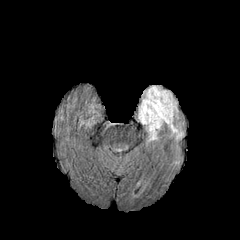
FLAIR magnetic resonance.
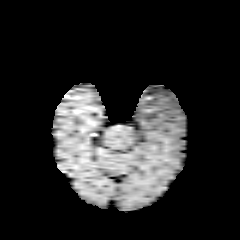
T1-weighted MR.
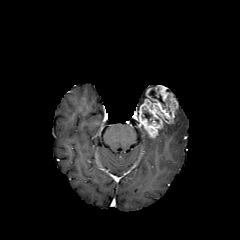
Post-contrast T1-weighted MR of the same slice.
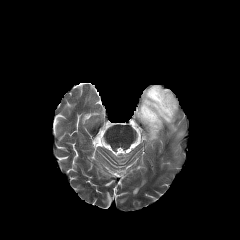
Same slice, T2-weighted magnetic resonance.
Axial slice. Brain.
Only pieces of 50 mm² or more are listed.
{
  "peritumoral_edema": [
    "166:123:183:140"
  ],
  "necrotic_tumor_core": [
    "149:90:165:104",
    "143:111:152:120"
  ],
  "enhancing_tumor": [
    "138:85:178:138"
  ]
}